FLAIR magnetic resonance.
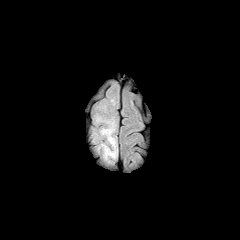
T1-weighted MR image.
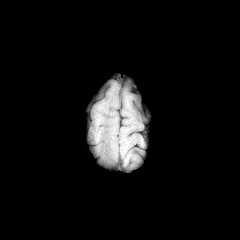
Post-contrast T1-weighted MRI.
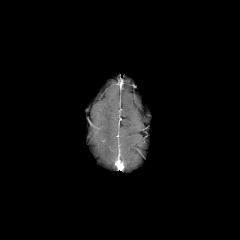
T2-weighted MR image.
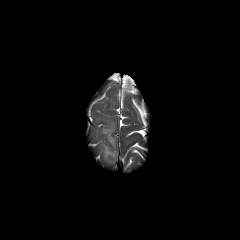
Brain | 240x240 px
peritumoral edema: 97,117,117,161